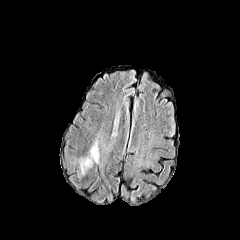
FLAIR MRI.
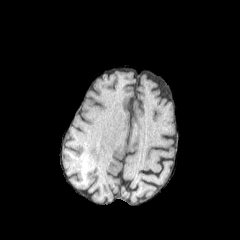
T1-weighted magnetic resonance of the same slice.
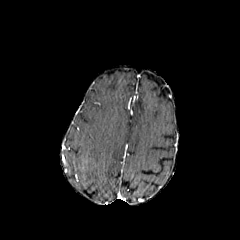
Post-contrast T1-weighted magnetic resonance.
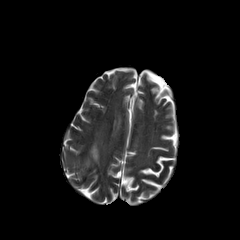
T2-weighted magnetic resonance.
240x240.
2 peritumoral edema regions are located at box(90, 143, 98, 162); box(81, 158, 91, 173).